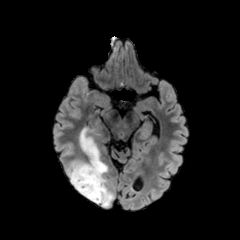
FLAIR MRI.
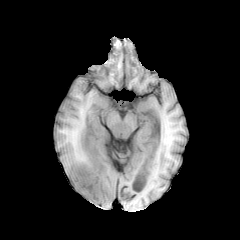
T1-weighted MR image of the same slice.
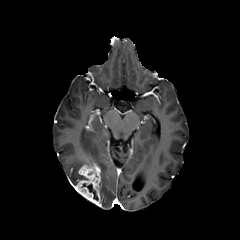
Same slice, post-contrast T1-weighted magnetic resonance.
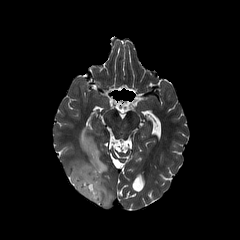
Same slice, T2-weighted MR.
Axial plane | Brain | Image size 240x240
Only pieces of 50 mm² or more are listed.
peritumoral edema: <bbox>66, 128, 114, 207</bbox>
necrotic tumor core: <bbox>81, 183, 98, 200</bbox>
enhancing tumor: <bbox>74, 162, 101, 205</bbox>